Head, Image size 240x240, Slice 49 of 155, Axial plane
FLAIR MRI.
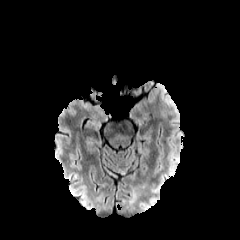
T1-weighted MR.
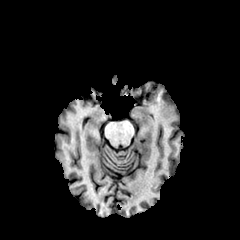
Post-contrast T1-weighted MR image.
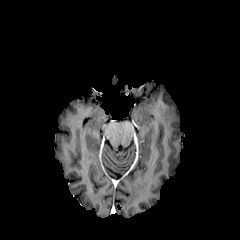
T2-weighted MRI.
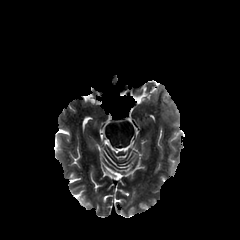
The peritumoral edema is at x1=161, y1=98, x2=178, y2=125.